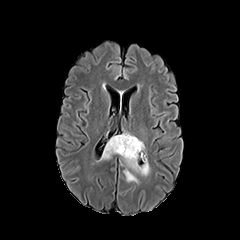
FLAIR MR image.
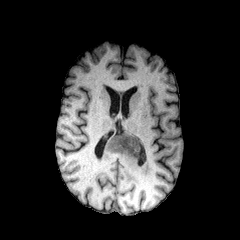
Same slice, T1-weighted MR.
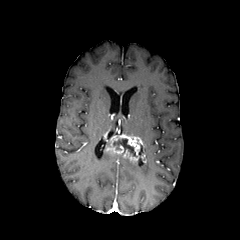
Same slice, post-contrast T1-weighted MR image.
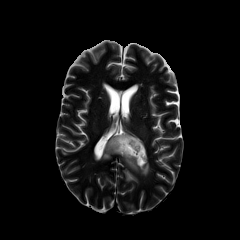
T2-weighted MR image.
Head
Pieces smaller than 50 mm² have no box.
The 3 largest peritumoral edema regions are located at x1=123 y1=169 x2=138 y2=182, x1=100 y1=140 x2=114 y2=159, x1=120 y1=155 x2=149 y2=175. The enhancing tumor is at x1=106 y1=134 x2=146 y2=163. The largest necrotic tumor core region is located at x1=113 y1=138 x2=135 y2=156.